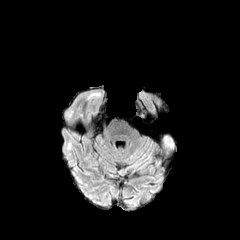
FLAIR MRI.
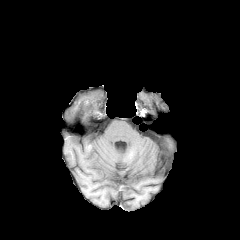
T1-weighted magnetic resonance.
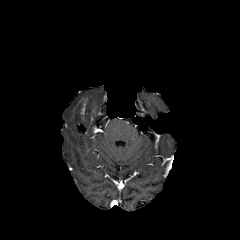
Post-contrast T1-weighted MR image of the same slice.
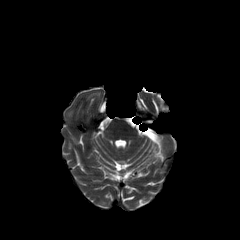
T2-weighted MR image.
Image size 240x240
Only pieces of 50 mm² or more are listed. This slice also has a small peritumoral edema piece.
Segmented structures:
- enhancing tumor: [x1=74, y1=98, x2=86, y2=120]